FLAIR MR.
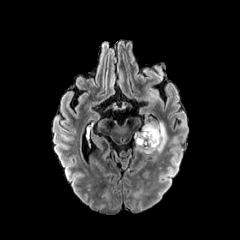
T1-weighted MR image.
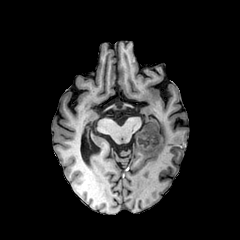
Post-contrast T1-weighted MR.
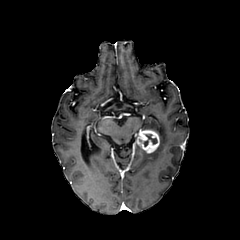
T2-weighted MRI.
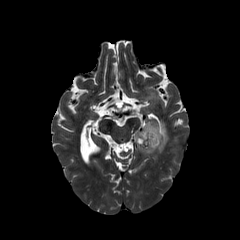
240x240, Axial view
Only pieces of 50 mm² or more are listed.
necrotic tumor core = bbox(146, 134, 156, 143)
enhancing tumor = bbox(135, 129, 159, 153)
peritumoral edema = bbox(135, 121, 167, 154)